Image size 240x240
FLAIR MR.
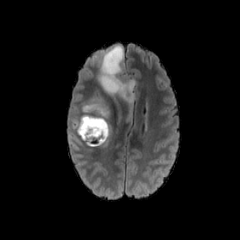
T1-weighted MR.
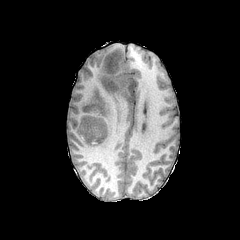
Post-contrast T1-weighted MRI.
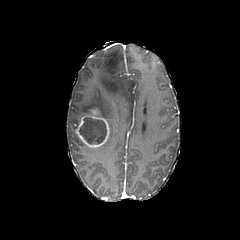
T2-weighted MRI.
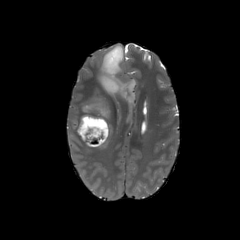
necrotic tumor core at (left=79, top=117, right=106, bottom=144)
enhancing tumor at (left=75, top=110, right=109, bottom=147)
peritumoral edema at (left=67, top=44, right=137, bottom=152)